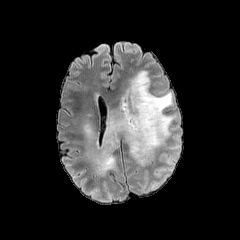
FLAIR MR image.
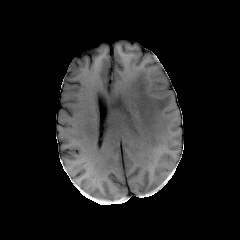
T1-weighted MR.
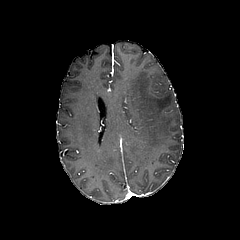
Post-contrast T1-weighted MRI.
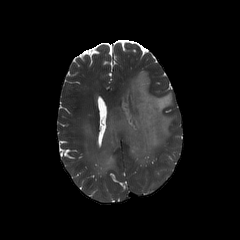
T2-weighted MR.
Head | Axial slice
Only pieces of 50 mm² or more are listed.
The 2 largest peritumoral edema regions are bounded by l=87, t=70, r=175, b=175; l=82, t=122, r=95, b=142.